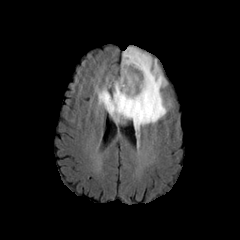
FLAIR MR.
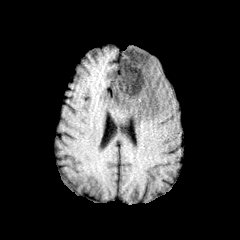
T1-weighted MR image.
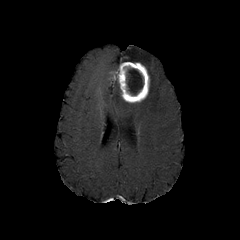
Post-contrast T1-weighted magnetic resonance of the same slice.
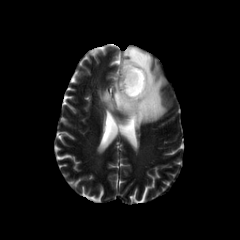
T2-weighted magnetic resonance of the same slice.
Axial slice
peritumoral edema: bounding box region(98, 47, 170, 130)
enhancing tumor: bounding box region(113, 61, 150, 102)
necrotic tumor core: bounding box region(127, 69, 143, 94)